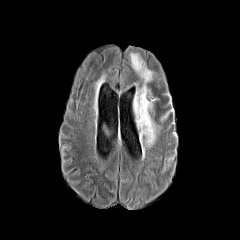
FLAIR MR image.
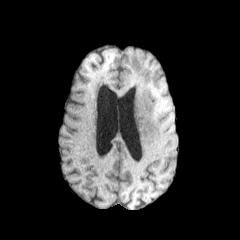
Same slice, T1-weighted MRI.
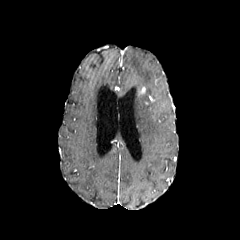
Post-contrast T1-weighted MR image.
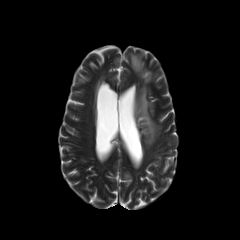
T2-weighted MRI.
240x240.
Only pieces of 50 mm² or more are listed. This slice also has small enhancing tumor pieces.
peritumoral edema: {"x1": 131, "y1": 53, "x2": 155, "y2": 156}